FLAIR magnetic resonance.
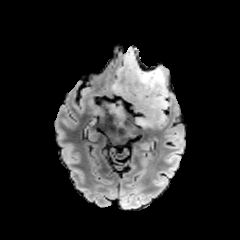
T1-weighted magnetic resonance.
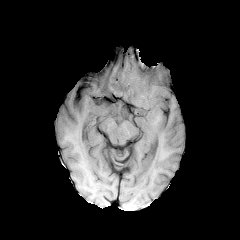
Post-contrast T1-weighted MRI.
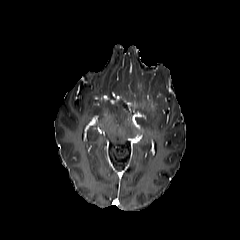
T2-weighted magnetic resonance.
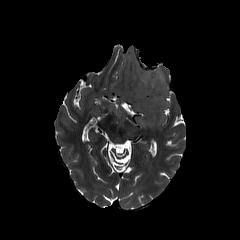
Head
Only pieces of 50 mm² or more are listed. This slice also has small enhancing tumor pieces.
The peritumoral edema is at bbox(115, 53, 166, 128).